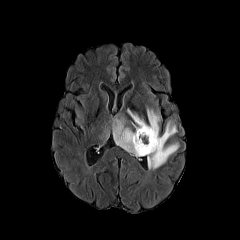
FLAIR magnetic resonance.
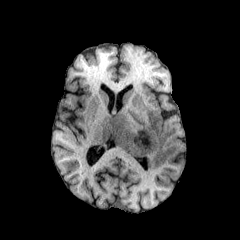
T1-weighted MR image of the same slice.
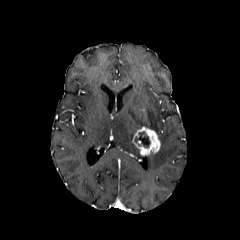
Post-contrast T1-weighted MR image of the same slice.
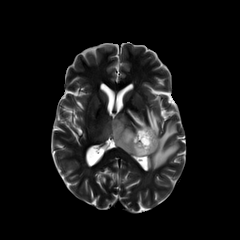
Same slice, T2-weighted MR image.
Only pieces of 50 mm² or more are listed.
peritumoral_edema:
  - <bbox>112, 116, 141, 156</bbox>
  - <bbox>147, 121, 179, 169</bbox>
  - <bbox>127, 107, 160, 134</bbox>
necrotic_tumor_core:
  - <bbox>134, 131, 150, 147</bbox>
enhancing_tumor:
  - <bbox>132, 126, 160, 155</bbox>